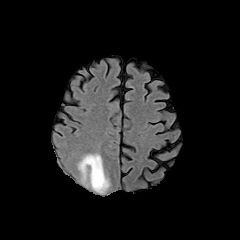
FLAIR MRI.
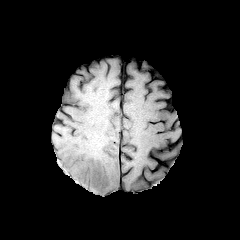
T1-weighted MR.
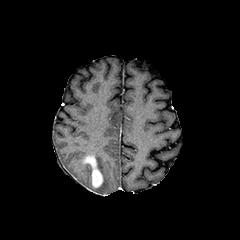
Post-contrast T1-weighted MR image.
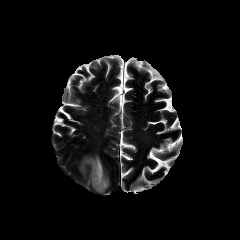
Same slice, T2-weighted MR.
Brain. 240x240. Axial plane.
The enhancing tumor is bounded by rect(83, 156, 103, 187). The peritumoral edema lies within rect(78, 154, 109, 193).